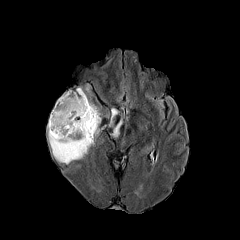
FLAIR MR.
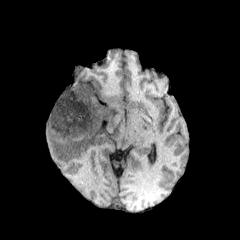
T1-weighted MR.
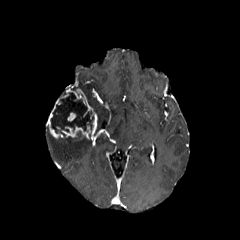
Post-contrast T1-weighted MR image.
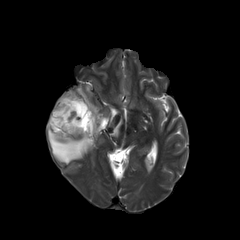
T2-weighted magnetic resonance.
Axial view.
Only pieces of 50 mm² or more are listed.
peritumoral edema: [47,126,92,164], [112,119,122,136], [109,108,118,125], [78,85,102,125] | enhancing tumor: [47,88,97,142], [67,112,76,121] | necrotic tumor core: [51,93,93,135]